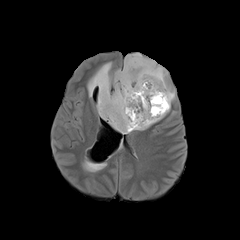
FLAIR magnetic resonance.
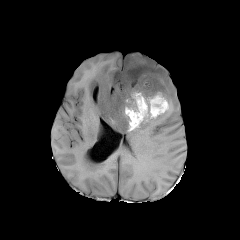
T1-weighted MR of the same slice.
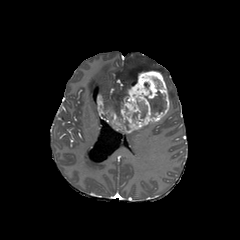
Post-contrast T1-weighted magnetic resonance of the same slice.
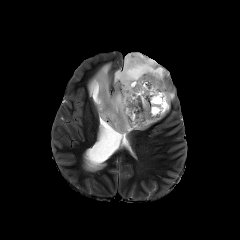
T2-weighted MR of the same slice.
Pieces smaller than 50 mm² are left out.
The largest peritumoral edema region appears at bbox(87, 53, 175, 110). The largest enhancing tumor region is at bbox(97, 70, 169, 133). The 2 largest necrotic tumor core regions are located at bbox(145, 91, 166, 116); bbox(137, 102, 147, 118).